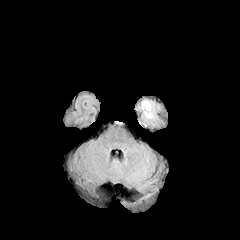
FLAIR MR image.
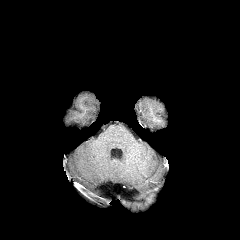
Same slice, T1-weighted MRI.
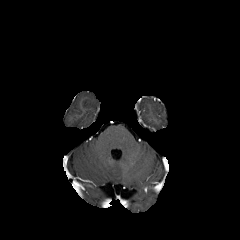
Same slice, post-contrast T1-weighted magnetic resonance.
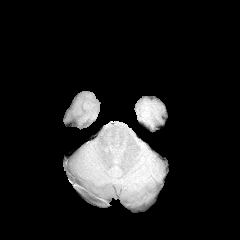
Same slice, T2-weighted MR.
Head | Image size 240x240
The peritumoral edema is bounded by bbox(139, 99, 158, 122).